Brain | 240x240 | Axial slice
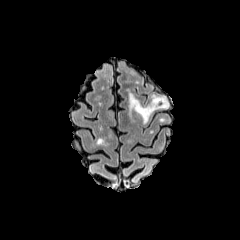
FLAIR MR image.
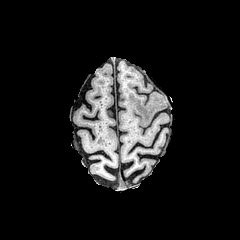
T1-weighted MR.
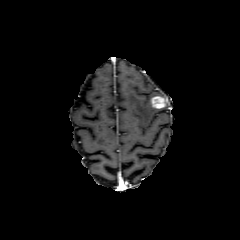
Post-contrast T1-weighted magnetic resonance.
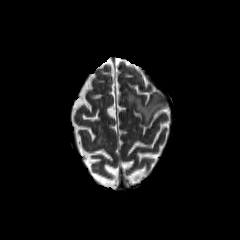
T2-weighted MR image.
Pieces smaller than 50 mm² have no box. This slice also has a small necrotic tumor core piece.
Findings:
- peritumoral edema: 129,93,168,123
- enhancing tumor: 150,96,167,108